Image size 240x240, Slice 101 of 155, Axial plane
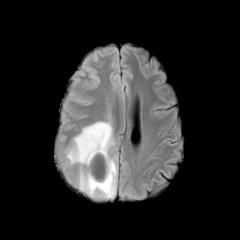
FLAIR magnetic resonance.
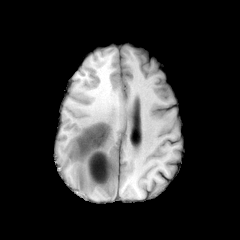
T1-weighted MRI of the same slice.
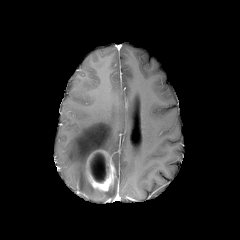
Post-contrast T1-weighted MRI of the same slice.
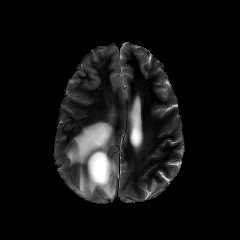
T2-weighted MRI.
Findings:
* necrotic tumor core: {"x1": 90, "y1": 152, "x2": 107, "y2": 182}
* peritumoral edema: {"x1": 66, "y1": 121, "x2": 117, "y2": 198}
* enhancing tumor: {"x1": 86, "y1": 150, "x2": 115, "y2": 191}